FLAIR magnetic resonance.
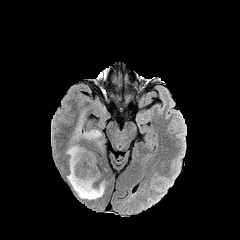
T1-weighted MRI.
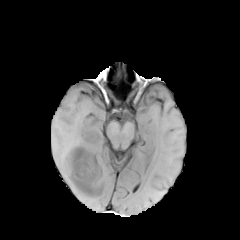
Post-contrast T1-weighted MR.
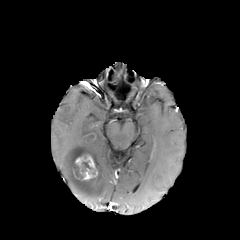
T2-weighted MR image.
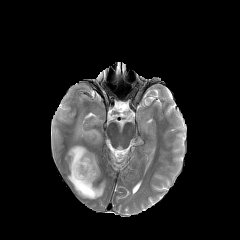
Head
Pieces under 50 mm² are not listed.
enhancing_tumor:
  - (75, 154, 97, 179)
necrotic_tumor_core:
  - (83, 134, 94, 141)
  - (81, 161, 91, 172)
  - (73, 162, 83, 178)
peritumoral_edema:
  - (66, 145, 105, 199)
  - (73, 119, 102, 146)